FLAIR MR image.
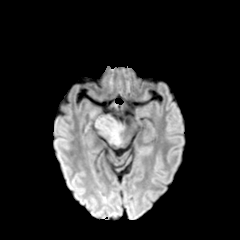
T1-weighted magnetic resonance.
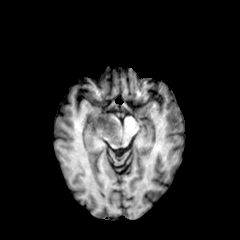
Post-contrast T1-weighted magnetic resonance.
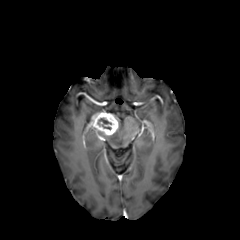
T2-weighted magnetic resonance.
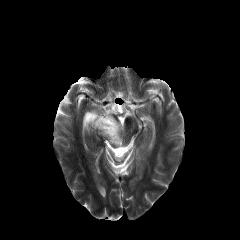
Head.
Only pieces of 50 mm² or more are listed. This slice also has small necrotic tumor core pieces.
<segmentation>
  <peritumoral_edema>(99, 123, 123, 145)</peritumoral_edema>
  <enhancing_tumor>(88, 112, 118, 135)</enhancing_tumor>
</segmentation>